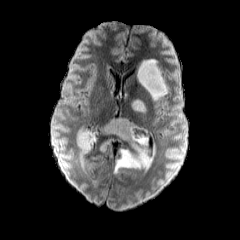
FLAIR MR.
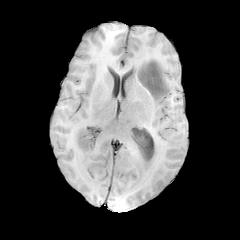
T1-weighted MR.
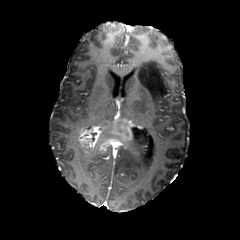
Post-contrast T1-weighted MR.
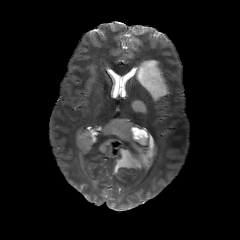
T2-weighted MRI.
Head
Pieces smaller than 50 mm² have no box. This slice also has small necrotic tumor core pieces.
peritumoral edema: 137,59,168,100; 132,130,149,146; 114,144,155,173; 131,99,145,111 | enhancing tumor: 77,118,137,152